240x240. Brain. Image width 240 mm. Axial slice. Slice 89/155.
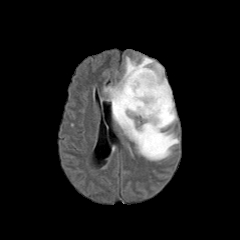
FLAIR MR image.
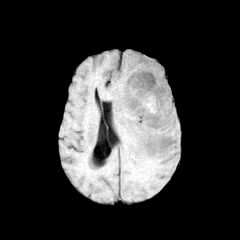
T1-weighted MR image.
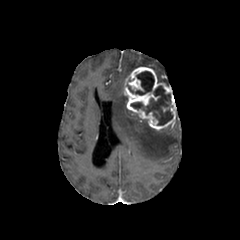
Post-contrast T1-weighted magnetic resonance.
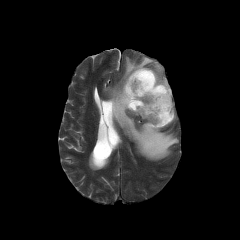
Same slice, T2-weighted MRI.
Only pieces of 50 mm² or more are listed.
peritumoral_edema:
  - l=104, t=56, r=178, b=160
enhancing_tumor:
  - l=123, t=67, r=176, b=130
necrotic_tumor_core:
  - l=131, t=85, r=173, b=125
  - l=127, t=71, r=154, b=95